Axial view
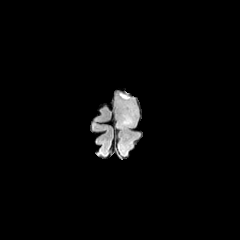
FLAIR MR.
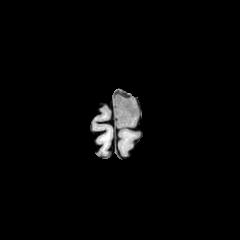
T1-weighted MRI.
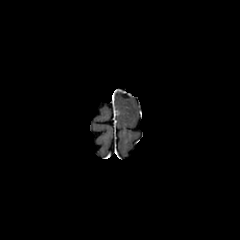
Post-contrast T1-weighted magnetic resonance of the same slice.
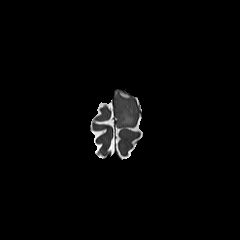
Same slice, T2-weighted MRI.
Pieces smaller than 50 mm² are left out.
<segmentation>
  <peritumoral_edema>115 93 137 126</peritumoral_edema>
  <enhancing_tumor>120 91 131 98</enhancing_tumor>
</segmentation>